FLAIR MR.
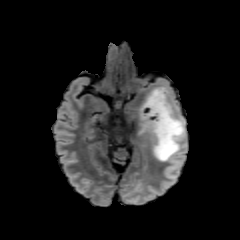
T1-weighted MR image.
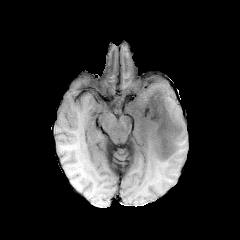
Post-contrast T1-weighted magnetic resonance.
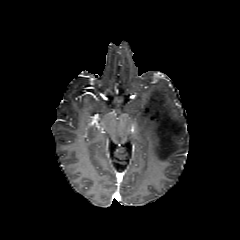
T2-weighted magnetic resonance.
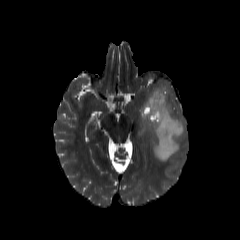
Axial plane; Head
The peritumoral edema lies within rect(138, 85, 186, 161).